Slice 110/155
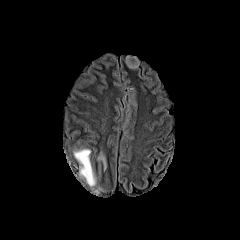
FLAIR magnetic resonance.
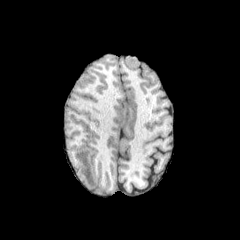
T1-weighted MR image of the same slice.
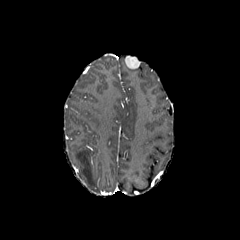
Post-contrast T1-weighted magnetic resonance.
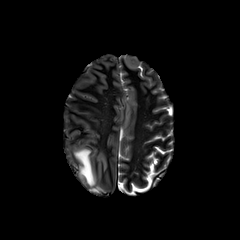
Same slice, T2-weighted MR.
The peritumoral edema is located at (left=74, top=149, right=95, bottom=185).